FLAIR MR.
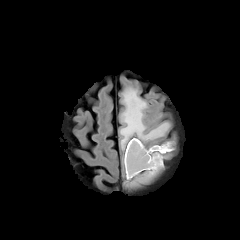
T1-weighted MR.
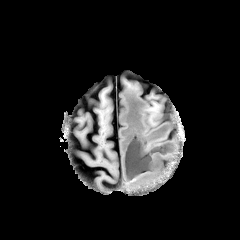
Post-contrast T1-weighted MR.
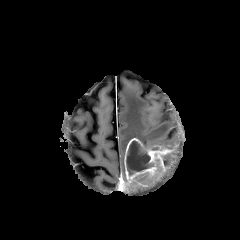
T2-weighted MRI.
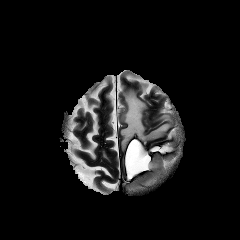
240x240 px. Axial view.
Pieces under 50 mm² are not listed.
peritumoral_edema:
  - <box>129,173,152,186</box>
  - <box>120,89,169,150</box>
enhancing_tumor:
  - <box>124,138,173,182</box>
necrotic_tumor_core:
  - <box>126,141,153,175</box>